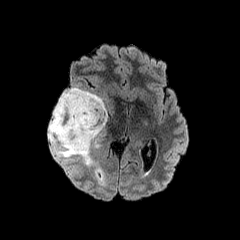
FLAIR MR.
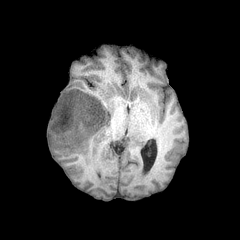
T1-weighted magnetic resonance.
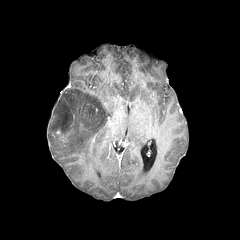
Post-contrast T1-weighted MR of the same slice.
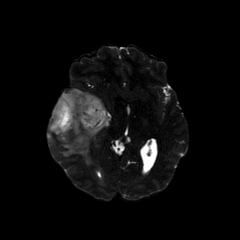
T2-weighted MR image.
Axial slice | Image size 240x240 | Brain
<segmentation>
  <peritumoral_edema>bbox(48, 87, 107, 165)</peritumoral_edema>
  <enhancing_tumor>bbox(56, 130, 69, 142)</enhancing_tumor>
</segmentation>